Axial plane | Slice 76 of 155 | Image width 240 mm, 1.00 mm slice spacing
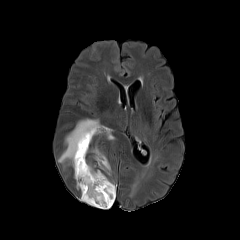
FLAIR MRI.
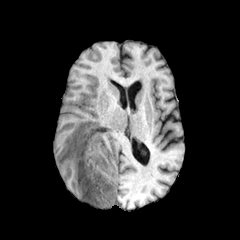
T1-weighted MR.
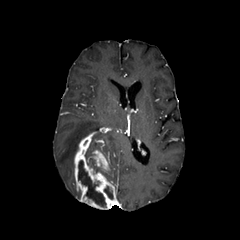
Post-contrast T1-weighted magnetic resonance.
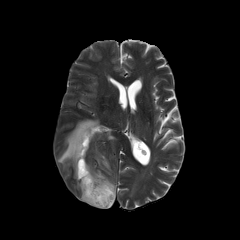
T2-weighted MR image.
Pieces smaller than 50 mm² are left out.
peritumoral edema: left=58, top=119, right=114, bottom=167
enhancing tumor: left=91, top=149, right=109, bottom=172; left=74, top=132, right=115, bottom=209
necrotic tumor core: left=78, top=160, right=106, bottom=207; left=104, top=186, right=113, bottom=199; left=85, top=155, right=100, bottom=172